Axial slice, Image covers 240 mm x 240 mm
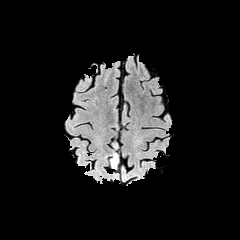
FLAIR magnetic resonance.
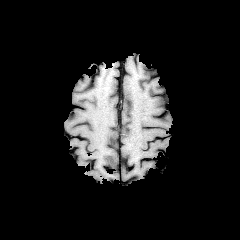
T1-weighted MR of the same slice.
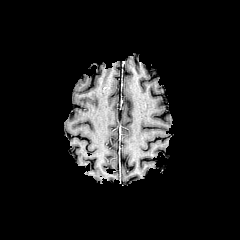
Same slice, post-contrast T1-weighted MR.
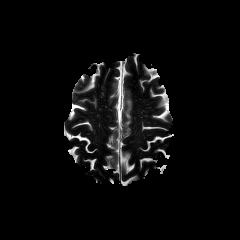
T2-weighted MR.
peritumoral edema at (110,153,117,167)